FLAIR MRI.
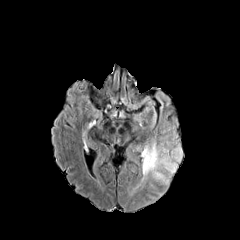
T1-weighted magnetic resonance.
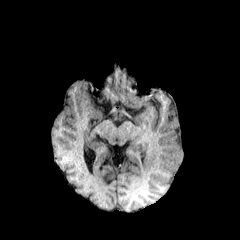
Post-contrast T1-weighted MRI.
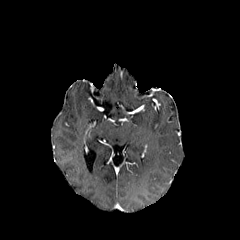
T2-weighted MRI.
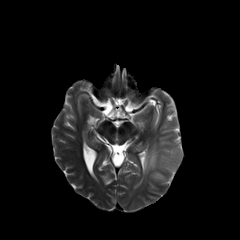
Axial view. Image size 240x240.
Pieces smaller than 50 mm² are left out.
- peritumoral edema: (142,141,182,183)